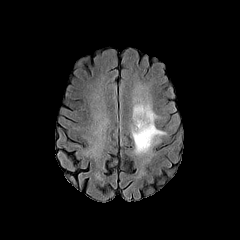
FLAIR MRI.
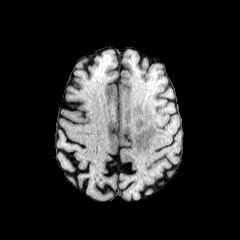
T1-weighted MR of the same slice.
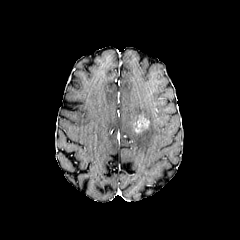
Post-contrast T1-weighted MR image.
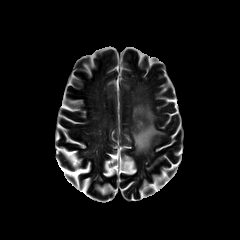
T2-weighted MR.
Head, 240x240 px, Axial slice
enhancing tumor — 134:116:149:132
peritumoral edema — 131:97:165:154